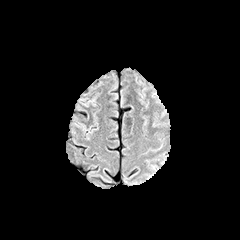
FLAIR MR.
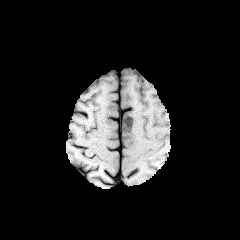
Same slice, T1-weighted magnetic resonance.
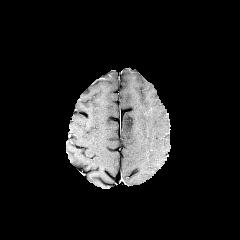
Post-contrast T1-weighted MR.
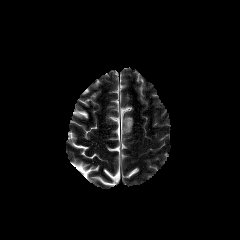
T2-weighted MRI.
Axial plane; Head
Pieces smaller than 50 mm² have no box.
Annotated regions:
* peritumoral edema: 149, 91, 167, 128